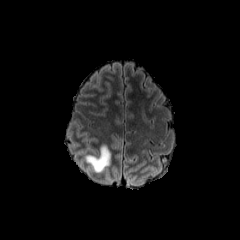
FLAIR MR image.
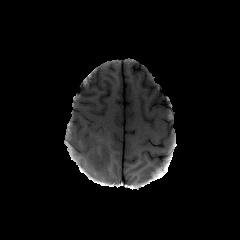
T1-weighted MR.
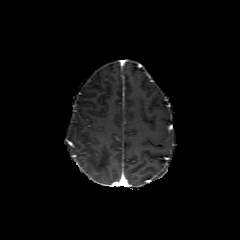
Same slice, post-contrast T1-weighted MR.
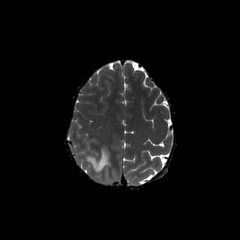
T2-weighted MR.
The peritumoral edema lies within 85,145,110,172.